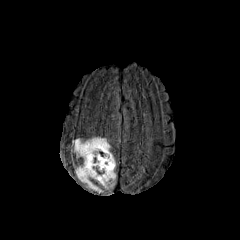
FLAIR MR.
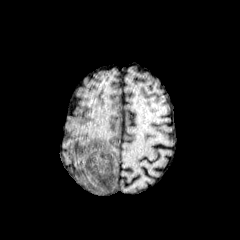
Same slice, T1-weighted MR.
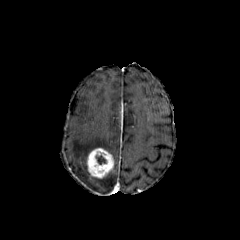
Same slice, post-contrast T1-weighted MR.
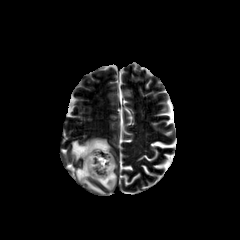
T2-weighted MRI.
Head. Axial plane.
Findings:
- necrotic tumor core: bbox=[96, 155, 105, 164]
- enhancing tumor: bbox=[86, 148, 114, 178]
- peritumoral edema: bbox=[71, 137, 116, 192]